Slice index 43
FLAIR magnetic resonance.
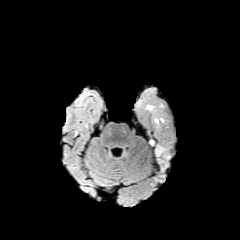
T1-weighted MR.
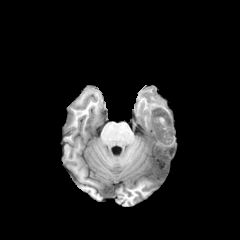
Post-contrast T1-weighted MR.
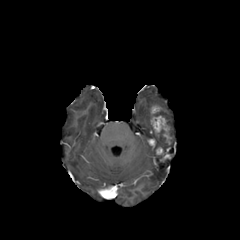
T2-weighted MRI.
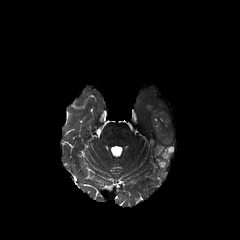
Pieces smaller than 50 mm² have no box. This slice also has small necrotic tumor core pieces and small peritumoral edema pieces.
The largest enhancing tumor region is at 151, 106, 170, 164.